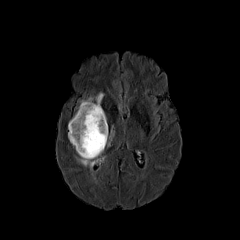
FLAIR MR image.
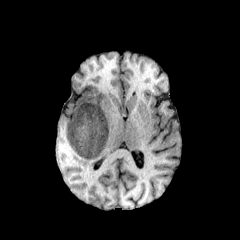
T1-weighted MR image.
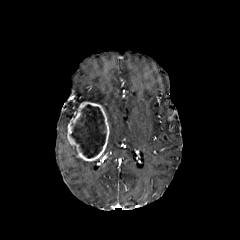
Post-contrast T1-weighted magnetic resonance.
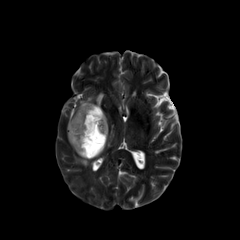
T2-weighted MR.
Axial slice, Brain
Findings:
* necrotic tumor core: rect(71, 105, 105, 158)
* peritumoral edema: rect(76, 157, 99, 169); rect(107, 126, 114, 146); rect(80, 92, 104, 104)
* enhancing tumor: rect(67, 101, 109, 161)